FLAIR MR.
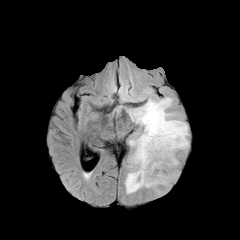
T1-weighted magnetic resonance.
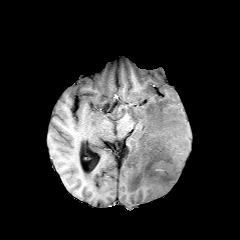
Post-contrast T1-weighted magnetic resonance.
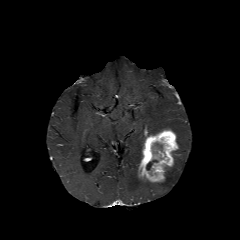
T2-weighted MR.
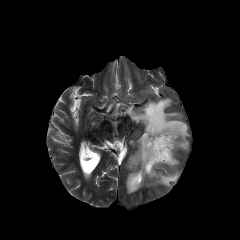
Brain; Axial view
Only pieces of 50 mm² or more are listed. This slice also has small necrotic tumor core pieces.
enhancing tumor: bbox(138, 128, 178, 182) | peritumoral edema: bbox(125, 130, 179, 193); bbox(128, 97, 189, 150)